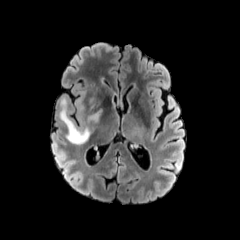
FLAIR MR.
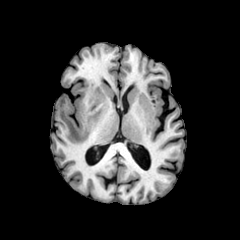
T1-weighted MRI.
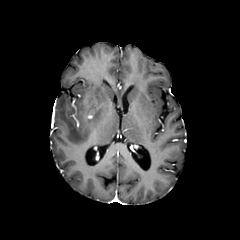
Post-contrast T1-weighted MRI.
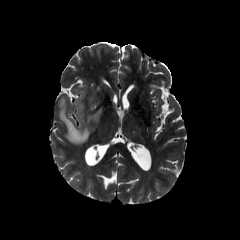
T2-weighted MR image.
Head | Axial slice
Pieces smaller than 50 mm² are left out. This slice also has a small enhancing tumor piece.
Annotated regions:
* peritumoral edema: (left=75, top=98, right=83, bottom=122), (left=87, top=109, right=101, bottom=122), (left=59, top=96, right=90, bottom=144)